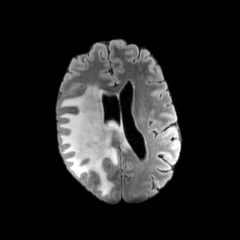
FLAIR magnetic resonance.
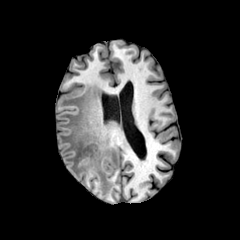
T1-weighted MRI.
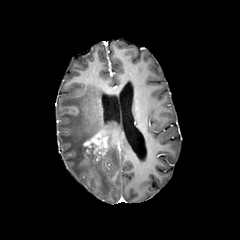
Post-contrast T1-weighted MR.
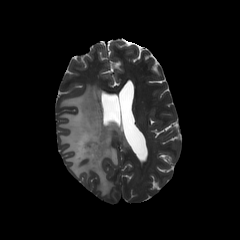
T2-weighted MR image of the same slice.
Brain
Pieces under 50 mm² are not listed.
{"peritumoral_edema": ["[59,85,129,196]"], "necrotic_tumor_core": ["[84,143,94,154]"], "enhancing_tumor": ["[81,131,107,160]"]}